Head. Image width 240 mm, 1.00 mm slice spacing.
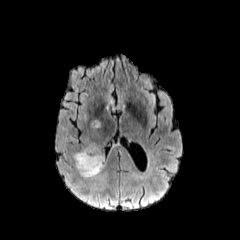
FLAIR MRI.
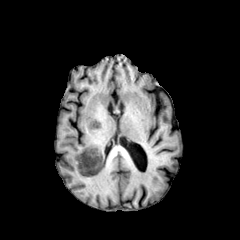
Same slice, T1-weighted MRI.
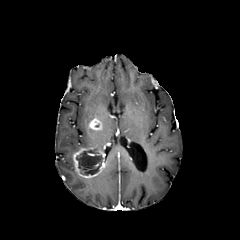
Post-contrast T1-weighted MR.
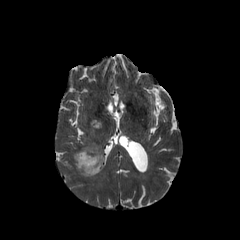
T2-weighted magnetic resonance of the same slice.
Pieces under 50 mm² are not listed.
enhancing_tumor:
  - l=73, t=147, r=105, b=178
  - l=88, t=118, r=101, b=130
peritumoral_edema:
  - l=86, t=172, r=105, b=189
necrotic_tumor_core:
  - l=76, t=150, r=102, b=175